FLAIR MRI.
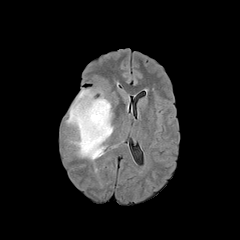
T1-weighted MRI.
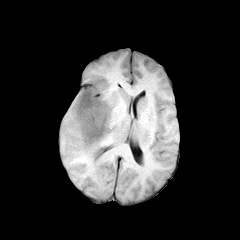
Post-contrast T1-weighted MR image.
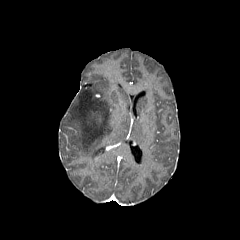
T2-weighted magnetic resonance.
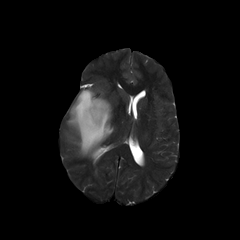
Axial view
Annotated regions:
• peritumoral edema: left=66, top=89, right=113, bottom=159